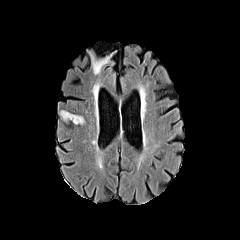
FLAIR MR.
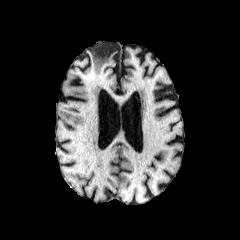
T1-weighted MRI.
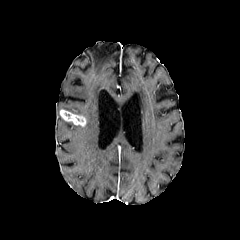
Post-contrast T1-weighted MR.
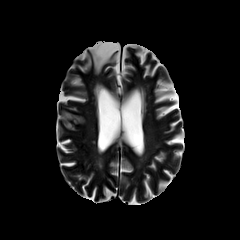
T2-weighted MRI.
Axial plane.
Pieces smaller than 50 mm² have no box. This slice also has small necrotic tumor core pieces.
enhancing tumor — {"x1": 59, "y1": 109, "x2": 86, "y2": 125}